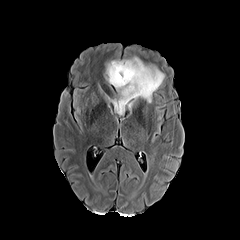
FLAIR MR.
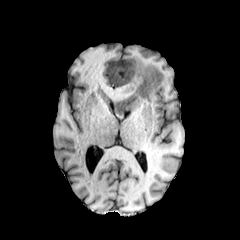
Same slice, T1-weighted magnetic resonance.
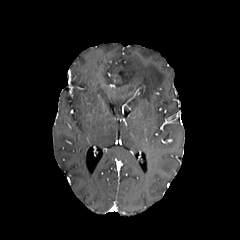
Post-contrast T1-weighted MRI of the same slice.
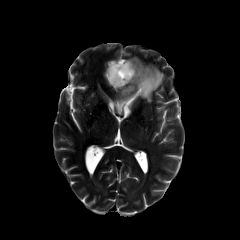
T2-weighted MRI of the same slice.
Axial slice, Brain
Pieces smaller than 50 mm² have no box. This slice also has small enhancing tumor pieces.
Annotated regions:
* peritumoral edema: rect(104, 56, 164, 116)
* necrotic tumor core: rect(111, 62, 125, 80)